Brain.
FLAIR MR.
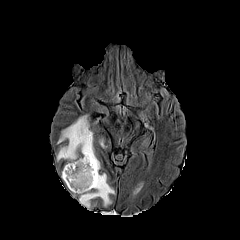
T1-weighted MRI.
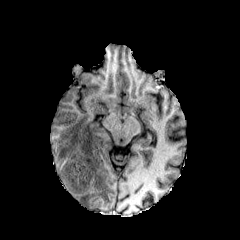
Post-contrast T1-weighted MR image.
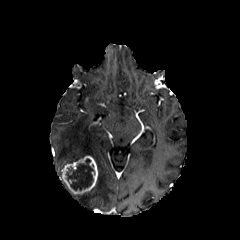
T2-weighted MR.
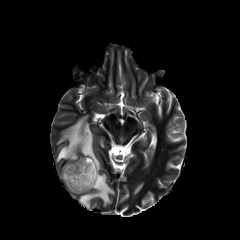
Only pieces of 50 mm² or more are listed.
The 2 largest peritumoral edema regions are bounded by 79,173,114,209; 57,115,100,172. The largest necrotic tumor core region is bounded by 66,159,93,190. The largest enhancing tumor region is bounded by 62,155,98,194.